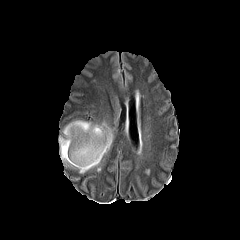
FLAIR MR.
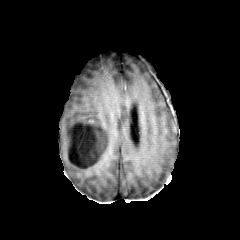
T1-weighted magnetic resonance.
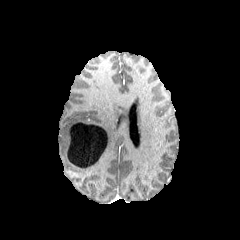
Post-contrast T1-weighted magnetic resonance of the same slice.
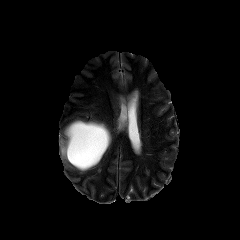
T2-weighted MR of the same slice.
Axial view
necrotic tumor core: bounding box <bbox>66, 122, 108, 168</bbox>
peritumoral edema: bounding box <bbox>59, 119, 113, 173</bbox>